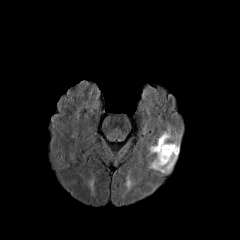
FLAIR MR image.
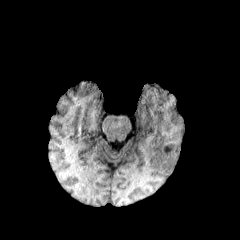
T1-weighted MR.
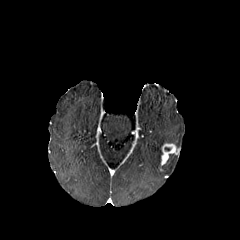
Post-contrast T1-weighted MR.
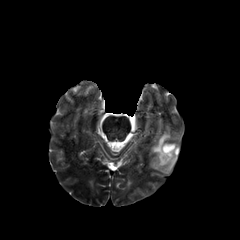
Same slice, T2-weighted MRI.
Brain.
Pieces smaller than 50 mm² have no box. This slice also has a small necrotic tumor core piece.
peritumoral edema — 149, 128, 177, 173
enhancing tumor — 161, 143, 179, 165